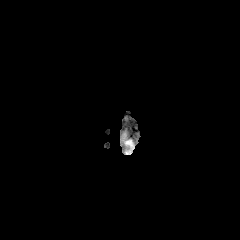
FLAIR MR.
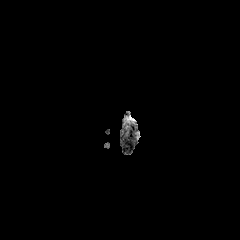
T1-weighted MR.
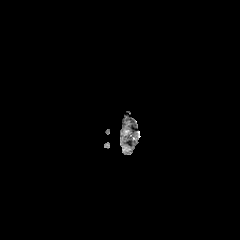
Post-contrast T1-weighted magnetic resonance.
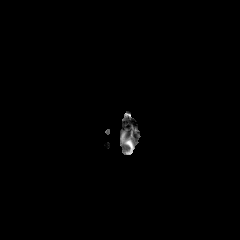
T2-weighted MR image of the same slice.
240x240.
<segmentation>
  <peritumoral_edema>[123, 136, 134, 154]</peritumoral_edema>
</segmentation>